FLAIR magnetic resonance.
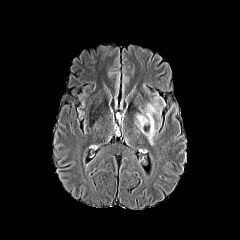
T1-weighted MR.
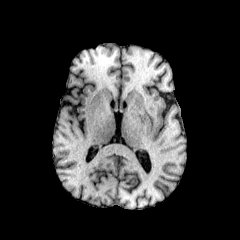
Post-contrast T1-weighted MR image.
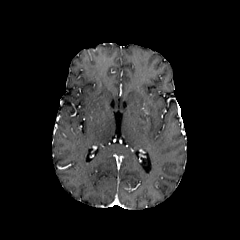
T2-weighted MR image.
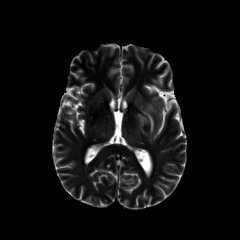
Head
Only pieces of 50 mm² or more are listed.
- peritumoral edema: (136,102,160,144)